FLAIR MR.
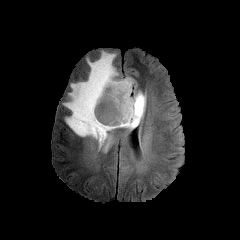
T1-weighted MR image.
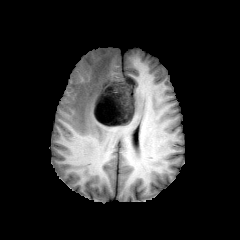
Post-contrast T1-weighted MR.
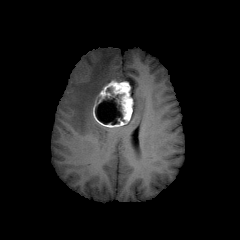
T2-weighted magnetic resonance.
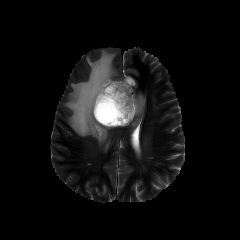
240x240; Axial view
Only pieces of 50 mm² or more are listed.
peritumoral_edema:
  - box(63, 50, 146, 151)
enhancing_tumor:
  - box(93, 80, 133, 127)
necrotic_tumor_core:
  - box(95, 95, 122, 124)